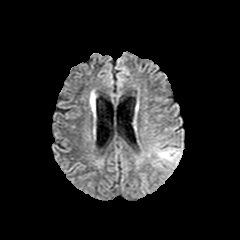
FLAIR magnetic resonance.
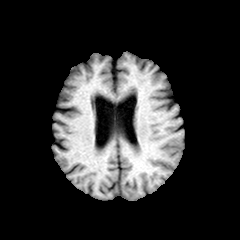
T1-weighted MR image.
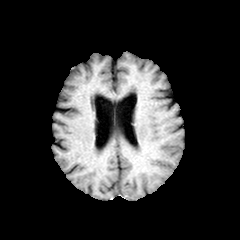
Post-contrast T1-weighted magnetic resonance.
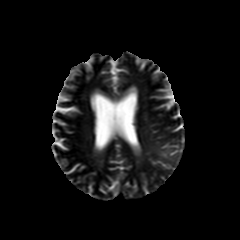
T2-weighted MR.
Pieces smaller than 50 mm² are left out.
The largest peritumoral edema region appears at (156, 147, 182, 166).